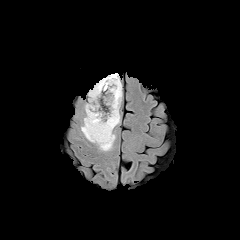
FLAIR magnetic resonance.
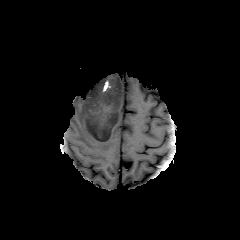
T1-weighted MRI.
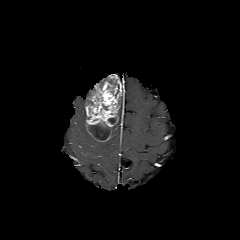
Post-contrast T1-weighted MR.
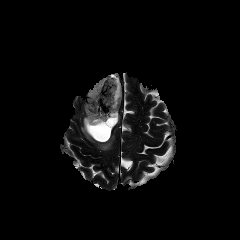
T2-weighted MR image of the same slice.
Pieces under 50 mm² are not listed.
{
  "peritumoral_edema": [
    "[81,109,120,151]"
  ],
  "enhancing_tumor": [
    "[85,74,122,141]"
  ],
  "necrotic_tumor_core": [
    "[89,124,110,140]"
  ]
}